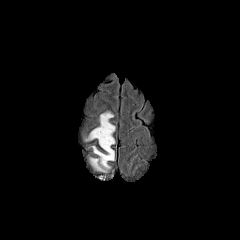
FLAIR MRI.
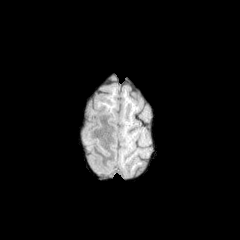
T1-weighted MR.
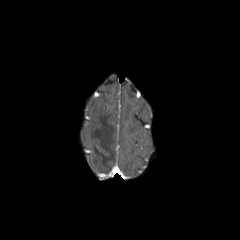
Post-contrast T1-weighted magnetic resonance.
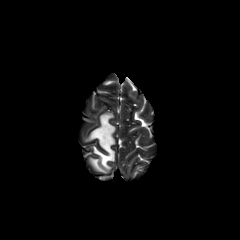
T2-weighted MRI.
Brain, Axial plane
The peritumoral edema is at (86, 112, 115, 171).